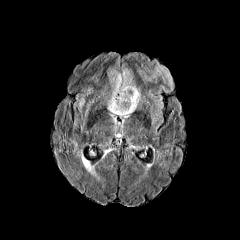
FLAIR MR.
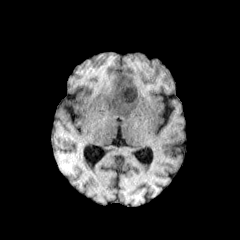
T1-weighted MR image.
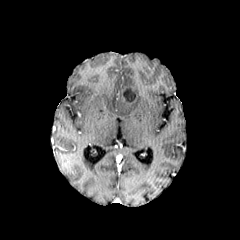
Post-contrast T1-weighted MRI.
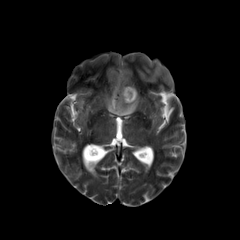
T2-weighted MRI.
Axial plane
enhancing_tumor:
  - 121,86,137,104
peritumoral_edema:
  - 108,68,140,117
necrotic_tumor_core:
  - 123,88,135,101